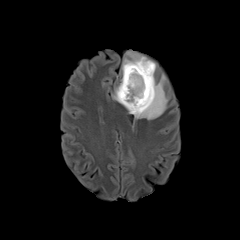
FLAIR MRI.
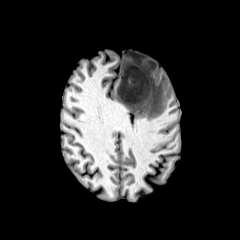
T1-weighted MR image of the same slice.
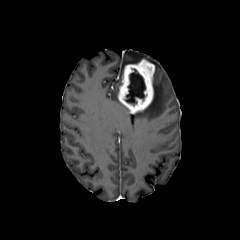
Post-contrast T1-weighted MR image.
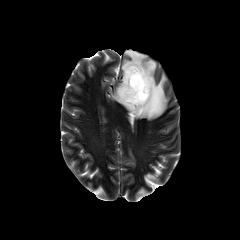
Same slice, T2-weighted MRI.
Axial view
necrotic_tumor_core:
  - box(125, 69, 145, 103)
enhancing_tumor:
  - box(118, 59, 154, 113)
peritumoral_edema:
  - box(112, 83, 120, 101)
  - box(122, 51, 156, 72)
  - box(134, 73, 168, 119)